240x240 px
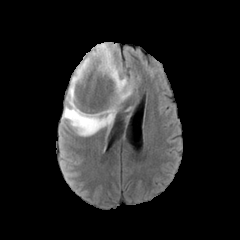
FLAIR MR.
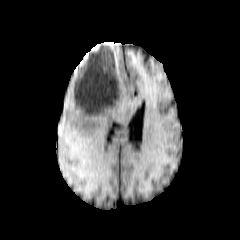
T1-weighted MR of the same slice.
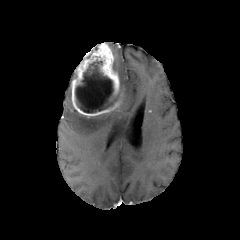
Post-contrast T1-weighted MR image.
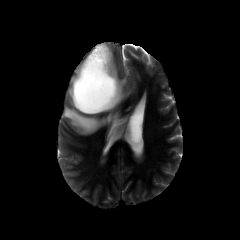
T2-weighted magnetic resonance of the same slice.
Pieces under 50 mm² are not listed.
{"enhancing_tumor": ["bbox=[70, 43, 122, 117]"], "necrotic_tumor_core": ["bbox=[75, 62, 113, 112]"], "peritumoral_edema": ["bbox=[63, 87, 117, 135]", "bbox=[113, 60, 132, 102]"]}